FLAIR MRI.
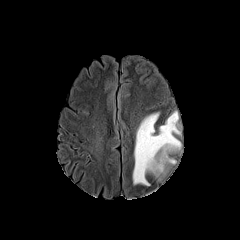
T1-weighted MR.
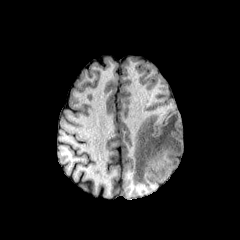
Post-contrast T1-weighted MR image.
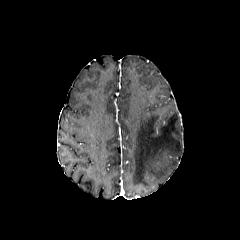
T2-weighted MR image.
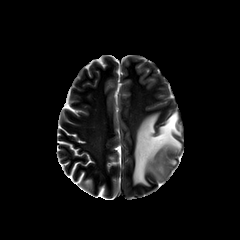
Head
peritumoral edema — {"x1": 133, "y1": 111, "x2": 181, "y2": 185}